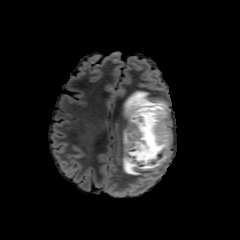
FLAIR MRI.
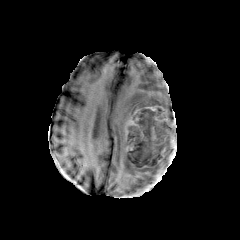
T1-weighted MR image of the same slice.
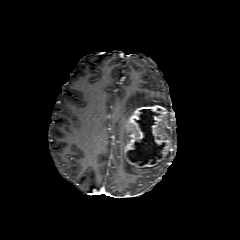
Same slice, post-contrast T1-weighted MR.
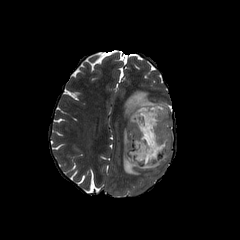
Same slice, T2-weighted MRI.
Brain. Axial view.
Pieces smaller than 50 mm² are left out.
enhancing tumor: bounding box x1=124 y1=105 x2=172 y2=168
peritumoral edema: bounding box x1=124 y1=91 x2=168 y2=121, x1=123 y1=147 x2=162 y2=175
necrotic tumor core: bounding box x1=126 y1=109 x2=165 y2=166